FLAIR MR.
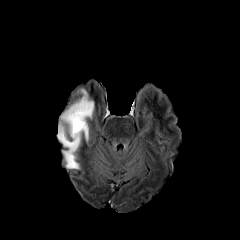
T1-weighted MR.
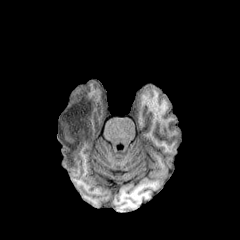
Post-contrast T1-weighted MR.
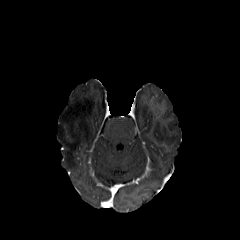
T2-weighted magnetic resonance.
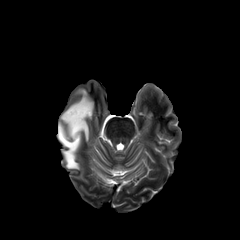
Axial plane; Brain
The peritumoral edema is located at region(58, 88, 94, 169).